Head.
FLAIR MR image.
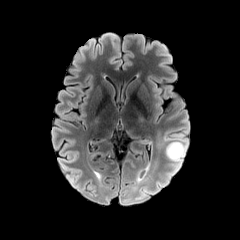
T1-weighted MRI.
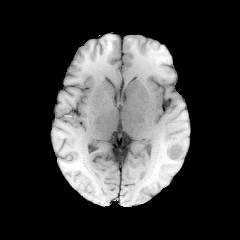
Post-contrast T1-weighted magnetic resonance.
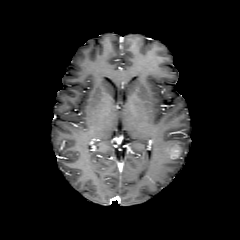
T2-weighted MR.
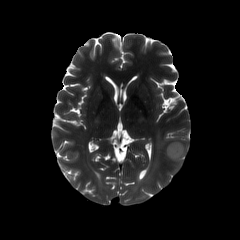
The peritumoral edema is located at rect(163, 133, 188, 171). The enhancing tumor is bounded by rect(167, 142, 183, 160).